Slice 55 of 155, Brain, Axial view
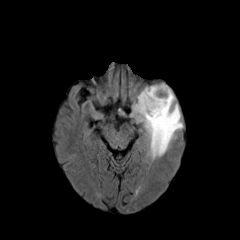
FLAIR MR.
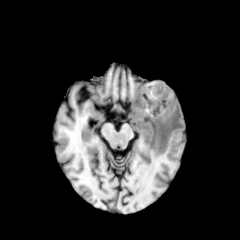
T1-weighted MR.
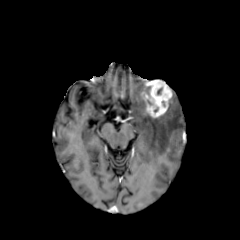
Post-contrast T1-weighted MRI.
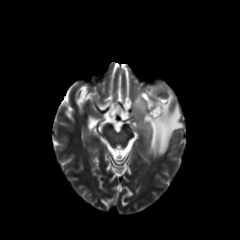
Same slice, T2-weighted magnetic resonance.
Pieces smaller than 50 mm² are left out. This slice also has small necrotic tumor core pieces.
enhancing tumor: region(140, 80, 172, 118) | peritumoral edema: region(143, 83, 151, 95); region(132, 93, 181, 158)